240x240 px. Axial view. Slice 91/155.
FLAIR magnetic resonance.
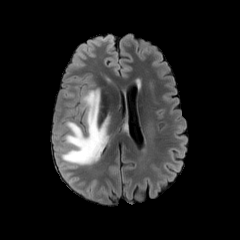
T1-weighted MR.
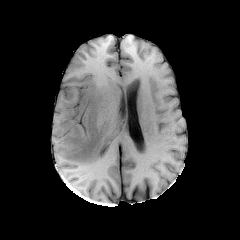
Post-contrast T1-weighted MRI.
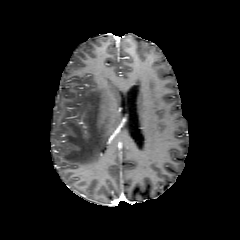
T2-weighted MR.
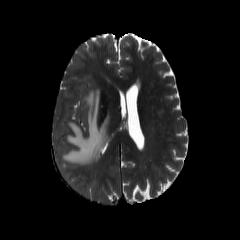
The peritumoral edema is located at 60 88 109 165.